Slice 54/155, Image covers 240 mm x 240 mm, Head
FLAIR MR.
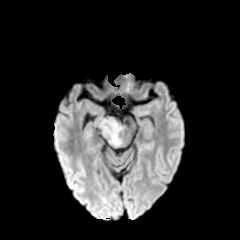
T1-weighted magnetic resonance.
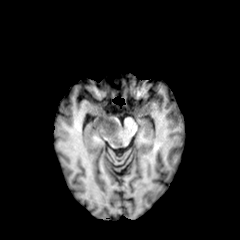
Post-contrast T1-weighted MR image.
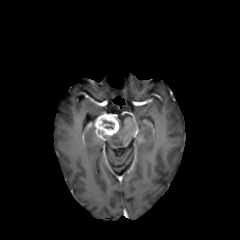
T2-weighted MR.
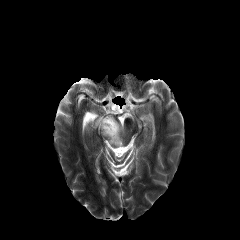
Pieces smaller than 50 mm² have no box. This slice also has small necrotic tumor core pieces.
Annotated regions:
• peritumoral edema: [103,125,123,146]
• enhancing tumor: [89,113,119,135]